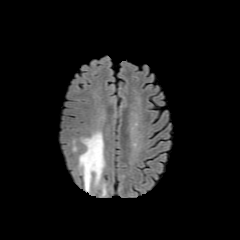
FLAIR magnetic resonance.
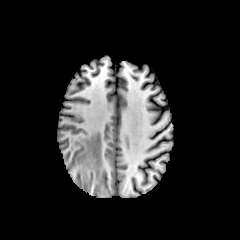
T1-weighted magnetic resonance of the same slice.
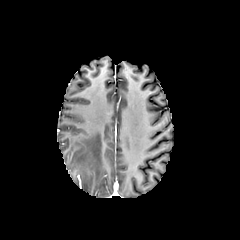
Post-contrast T1-weighted MR.
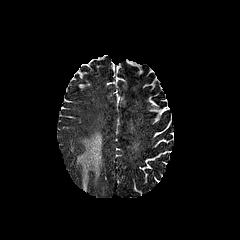
Same slice, T2-weighted MRI.
Axial plane
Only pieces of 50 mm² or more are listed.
The largest peritumoral edema region is at 73,131,104,191.